FLAIR magnetic resonance.
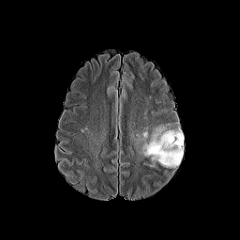
T1-weighted MR image.
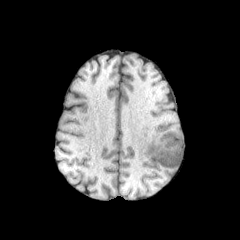
Post-contrast T1-weighted magnetic resonance.
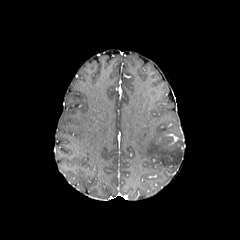
T2-weighted MR.
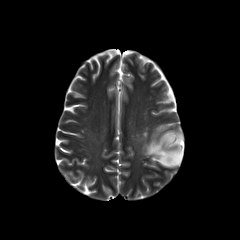
Head, 240x240 px
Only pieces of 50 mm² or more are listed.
Annotated regions:
- peritumoral edema: (143,127,183,167)